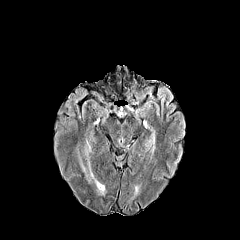
FLAIR MR image.
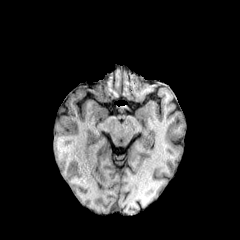
T1-weighted MR image.
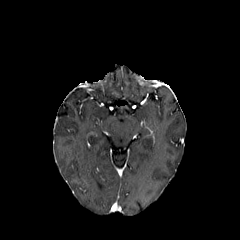
Post-contrast T1-weighted MR.
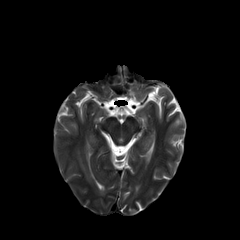
T2-weighted MR.
Brain
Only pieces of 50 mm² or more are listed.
• peritumoral edema: [87,158,105,194]